FLAIR MR image.
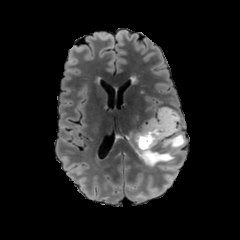
T1-weighted magnetic resonance.
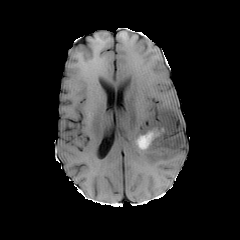
Post-contrast T1-weighted magnetic resonance.
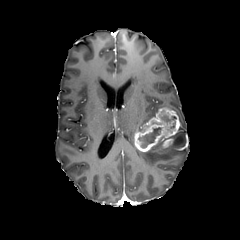
T2-weighted MR.
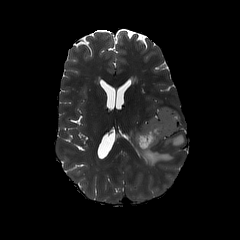
Axial slice, Image size 240x240
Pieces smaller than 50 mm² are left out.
enhancing tumor = (left=134, top=107, right=180, bottom=152)
necrotic tumor core = (left=139, top=127, right=161, bottom=147)
peritumoral edema = (left=136, top=131, right=185, bottom=167)